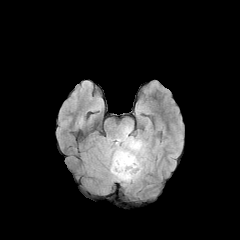
FLAIR magnetic resonance.
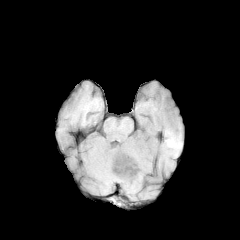
Same slice, T1-weighted MRI.
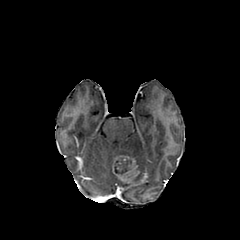
Post-contrast T1-weighted MR image.
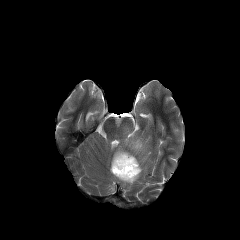
Same slice, T2-weighted magnetic resonance.
Brain.
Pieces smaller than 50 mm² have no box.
necrotic tumor core: 114 158 131 174 | peritumoral edema: 103 124 146 186 | enhancing tumor: 112 155 139 182